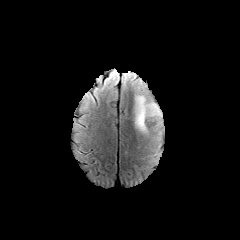
FLAIR MR image.
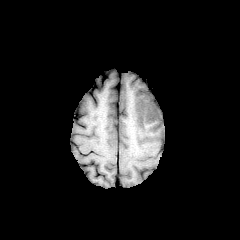
T1-weighted magnetic resonance.
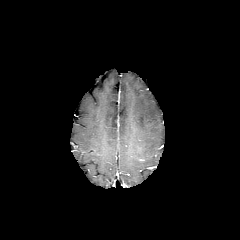
Post-contrast T1-weighted magnetic resonance.
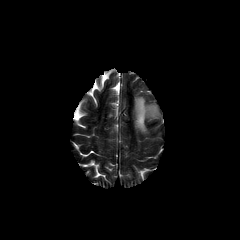
Same slice, T2-weighted MR.
Image size 240x240 | Axial view | Brain
peritumoral edema: 135:95:161:133